Axial view
FLAIR MR.
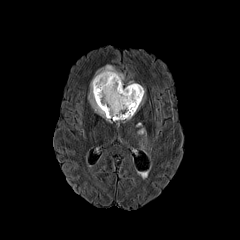
T1-weighted magnetic resonance.
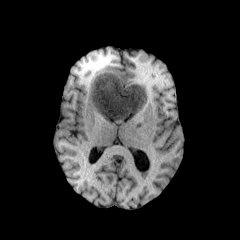
Post-contrast T1-weighted magnetic resonance.
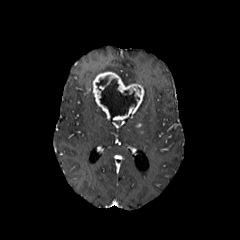
T2-weighted magnetic resonance.
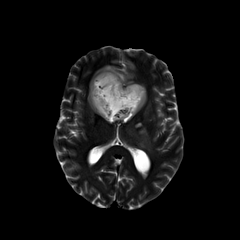
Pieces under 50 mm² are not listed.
The largest necrotic tumor core region is at 96 76 139 119. The largest enhancing tumor region appears at 92 71 144 120. The 2 largest peritumoral edema regions appear at 88 65 125 121, 138 128 146 147.